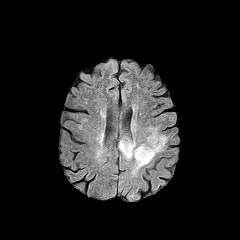
FLAIR MR.
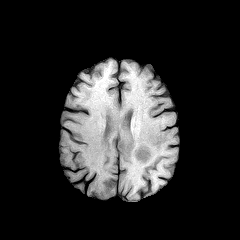
T1-weighted magnetic resonance of the same slice.
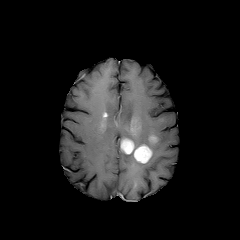
Post-contrast T1-weighted MRI of the same slice.
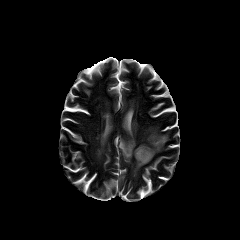
T2-weighted magnetic resonance of the same slice.
Axial plane | Brain
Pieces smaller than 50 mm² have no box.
The 2 largest peritumoral edema regions appear at region(131, 126, 168, 176); region(121, 151, 133, 160). The 3 largest enhancing tumor regions are bounded by region(149, 135, 157, 143); region(134, 145, 152, 163); region(120, 138, 134, 154).